FLAIR MRI.
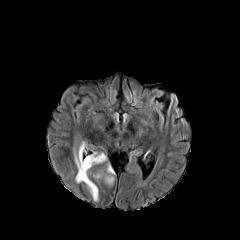
T1-weighted MR.
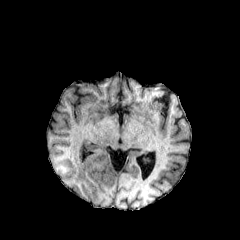
Post-contrast T1-weighted MRI.
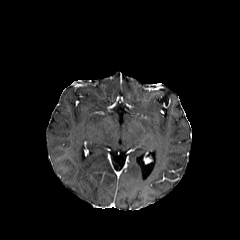
T2-weighted MR image.
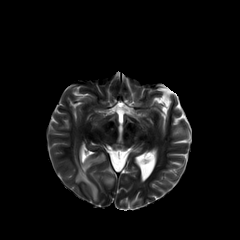
Brain
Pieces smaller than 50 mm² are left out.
<segmentation>
  <peritumoral_edema>105:176:113:184, 75:145:106:200</peritumoral_edema>
</segmentation>